FLAIR MR image.
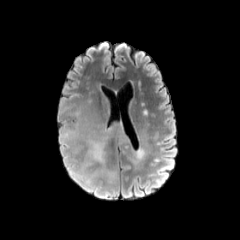
T1-weighted magnetic resonance.
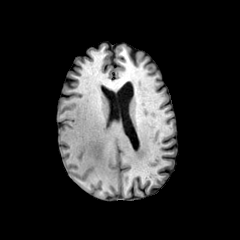
Post-contrast T1-weighted MRI.
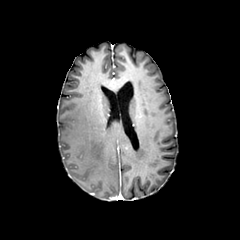
T2-weighted MRI.
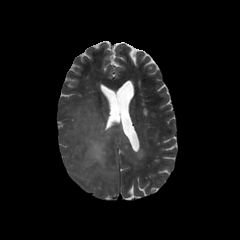
Axial plane. Brain.
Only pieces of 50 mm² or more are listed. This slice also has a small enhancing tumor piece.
The largest peritumoral edema region is at x1=65 y1=125 x2=113 y2=183.